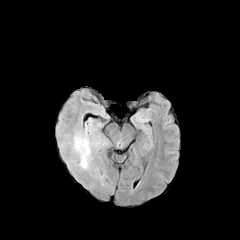
FLAIR MRI.
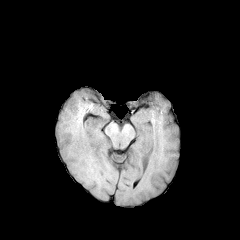
T1-weighted MR image.
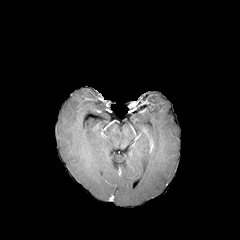
Same slice, post-contrast T1-weighted MRI.
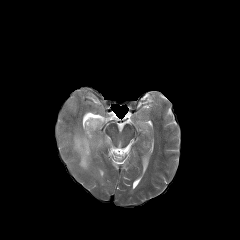
T2-weighted MR of the same slice.
240x240. Head.
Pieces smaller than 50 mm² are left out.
peritumoral edema at x1=70, y1=119, x2=106, y2=170